Image width 240 mm; Axial slice; Brain
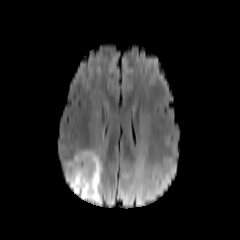
FLAIR MRI.
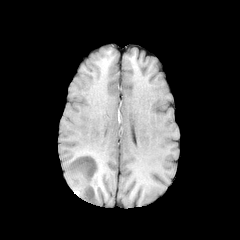
T1-weighted MR image.
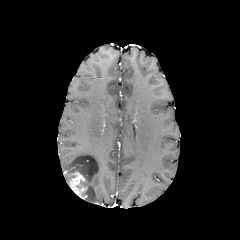
Post-contrast T1-weighted MRI.
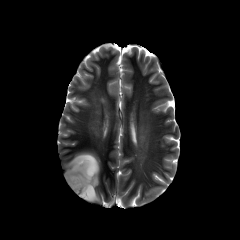
T2-weighted MR image.
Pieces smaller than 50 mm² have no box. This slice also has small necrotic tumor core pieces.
peritumoral edema = x1=65, y1=151, x2=101, y2=203
enhancing tumor = x1=68, y1=171, x2=87, y2=199